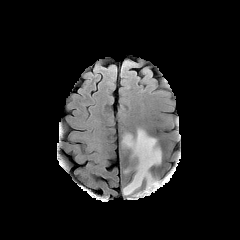
FLAIR MR image.
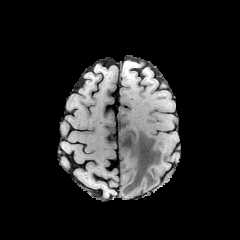
T1-weighted MR of the same slice.
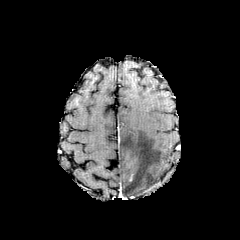
Same slice, post-contrast T1-weighted MRI.
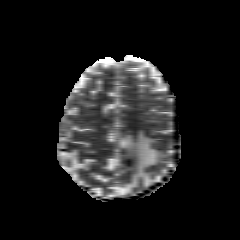
T2-weighted magnetic resonance.
Image size 240x240 | Brain
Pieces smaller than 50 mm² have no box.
The largest peritumoral edema region lies within [121, 129, 161, 195].